Head
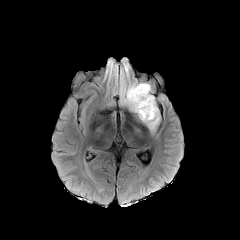
FLAIR MR image.
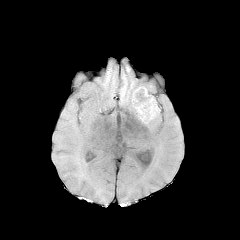
T1-weighted MR.
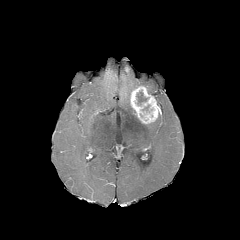
Post-contrast T1-weighted MR.
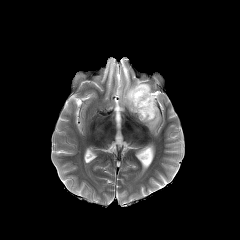
T2-weighted MR.
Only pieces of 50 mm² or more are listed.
peritumoral edema: 146:110:160:131, 119:81:151:112 | necrotic tumor core: 136:90:148:105 | enhancing tumor: 130:86:159:123